Axial plane. Image width 240 mm. Slice 110 of 155.
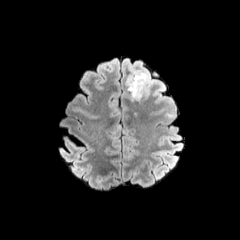
FLAIR MR.
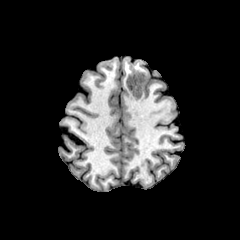
T1-weighted MR image.
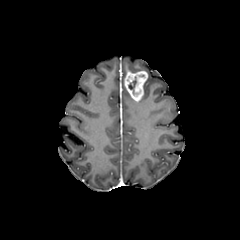
Post-contrast T1-weighted magnetic resonance.
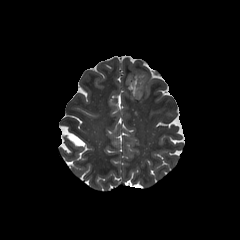
T2-weighted MRI.
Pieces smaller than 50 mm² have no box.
Segmented structures:
- enhancing tumor: box=[125, 71, 147, 100]
- peritumoral edema: box=[131, 68, 154, 96]
- necrotic tumor core: box=[128, 77, 136, 93]